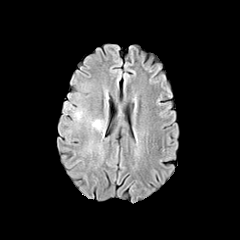
FLAIR MRI.
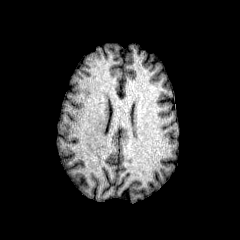
T1-weighted magnetic resonance.
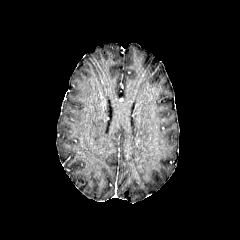
Post-contrast T1-weighted magnetic resonance.
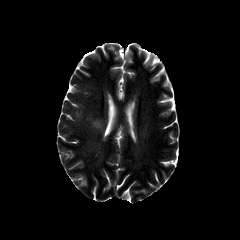
T2-weighted MR of the same slice.
Head, Image size 240x240
peritumoral_edema:
  - bbox(91, 119, 104, 131)
  - bbox(73, 109, 83, 121)